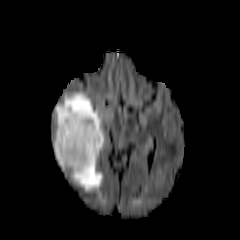
FLAIR MR.
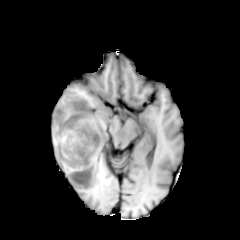
T1-weighted MR.
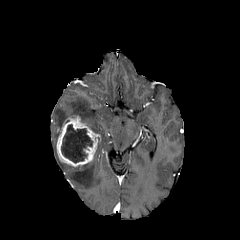
Same slice, post-contrast T1-weighted MR.
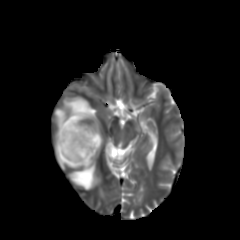
T2-weighted MR.
240x240 px. Axial plane.
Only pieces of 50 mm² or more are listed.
enhancing_tumor:
  - 56:114:100:166
peritumoral_edema:
  - 55:92:103:191
  - 53:142:64:170
necrotic_tumor_core:
  - 61:124:92:162